FLAIR MR image.
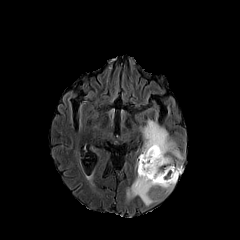
T1-weighted MR image.
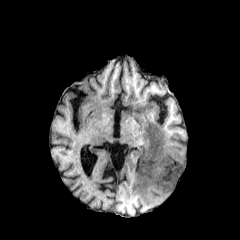
Post-contrast T1-weighted MR image.
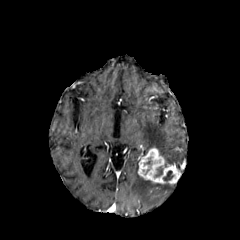
T2-weighted MR image.
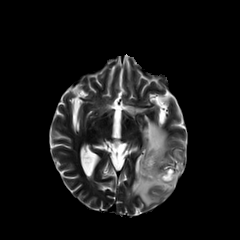
Head, Image size 240x240
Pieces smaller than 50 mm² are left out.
The 2 largest necrotic tumor core regions are bounded by [x1=163, y1=170, x2=173, y2=181], [x1=155, y1=167, x2=162, y2=177]. The enhancing tumor is at [x1=138, y1=147, x2=181, y2=184]. The 2 largest peritumoral edema regions appear at [x1=141, y1=119, x2=183, y2=164], [x1=127, y1=175, x2=174, y2=205].